Slice 70 of 155; Head; Axial plane
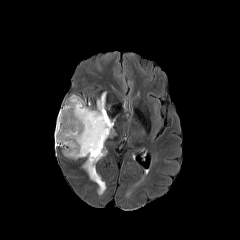
FLAIR MR image.
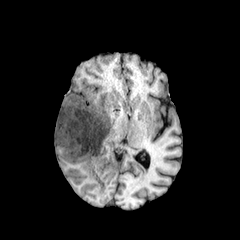
T1-weighted MRI of the same slice.
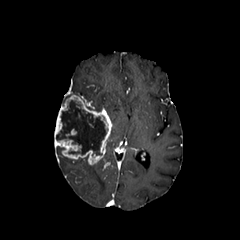
Post-contrast T1-weighted MRI.
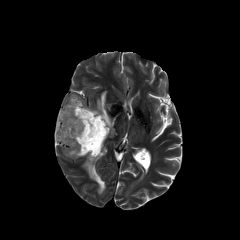
Same slice, T2-weighted MRI.
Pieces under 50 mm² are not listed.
enhancing tumor: bbox(54, 94, 112, 165)
necrotic tumor core: bbox(56, 100, 106, 155)
peritumoral edema: bbox(95, 91, 106, 111); bbox(82, 160, 106, 195)